Slice 108/155, Brain, Image size 240x240, Axial slice
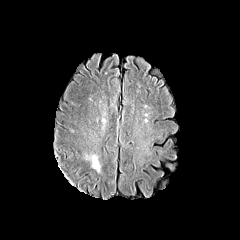
FLAIR MR.
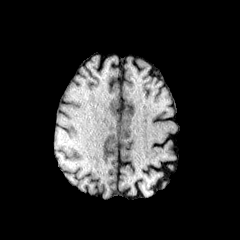
Same slice, T1-weighted MR.
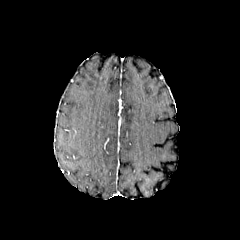
Post-contrast T1-weighted MR image.
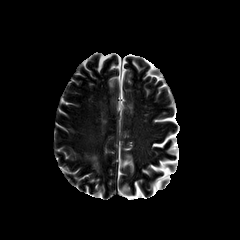
T2-weighted magnetic resonance of the same slice.
peritumoral edema = x1=92 y1=155 x2=99 y2=171